Axial plane, Image width 240 mm
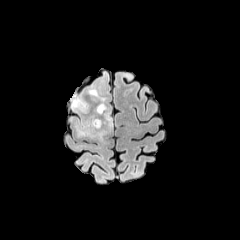
FLAIR MRI.
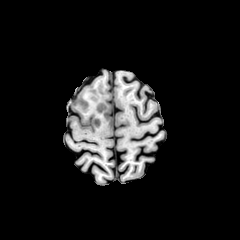
T1-weighted magnetic resonance of the same slice.
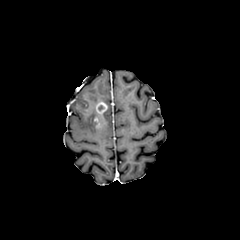
Post-contrast T1-weighted magnetic resonance.
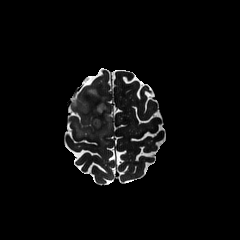
Same slice, T2-weighted MR image.
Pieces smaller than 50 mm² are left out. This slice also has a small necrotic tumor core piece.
<segmentation>
  <peritumoral_edema>[88,88,106,101], [70,95,88,112], [106,106,111,126], [76,118,106,139]</peritumoral_edema>
  <enhancing_tumor>[94,101,107,127]</enhancing_tumor>
</segmentation>